FLAIR MRI.
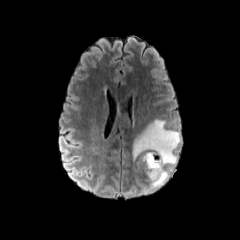
T1-weighted MR image.
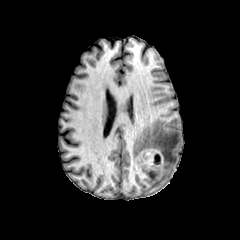
Post-contrast T1-weighted MR image.
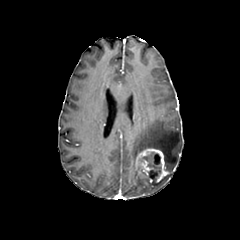
T2-weighted magnetic resonance.
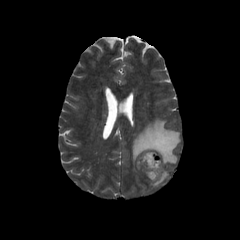
Axial plane. 240x240 px.
The peritumoral edema is at x1=132 y1=119 x2=181 y2=188. The enhancing tumor is bounded by x1=135 y1=147 x2=169 y2=182. The necrotic tumor core is bounded by x1=143 y1=152 x2=160 y2=180.